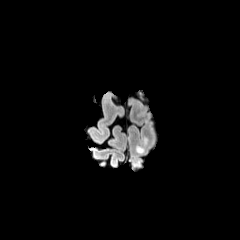
FLAIR MRI.
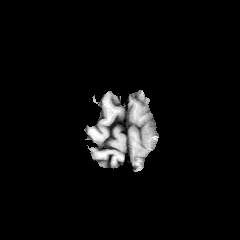
T1-weighted MR.
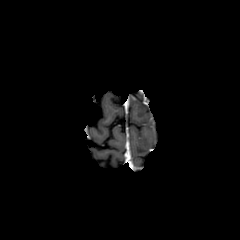
Post-contrast T1-weighted MR of the same slice.
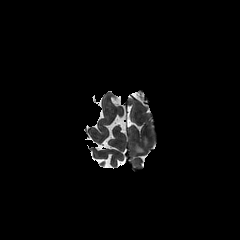
Same slice, T2-weighted magnetic resonance.
Brain, Axial plane
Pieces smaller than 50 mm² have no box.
Findings:
- peritumoral edema: 135 137 148 153